Slice index 114, 240x240 px, Brain
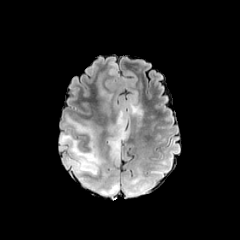
FLAIR MR image.
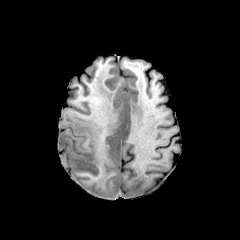
T1-weighted MRI.
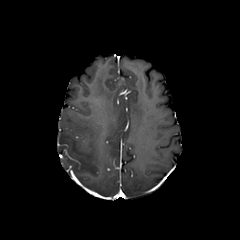
Post-contrast T1-weighted MR image.
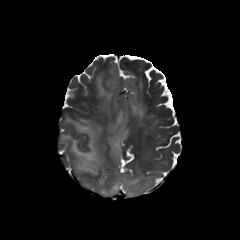
Same slice, T2-weighted MR image.
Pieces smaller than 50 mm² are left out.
peritumoral edema = <bbox>100, 89, 111, 101</bbox>, <bbox>122, 171, 153, 196</bbox>, <bbox>59, 117, 119, 195</bbox>, <bbox>108, 92, 143, 164</bbox>